Image size 240x240, Head, Axial slice
FLAIR MRI.
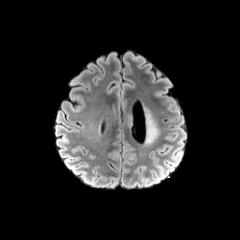
T1-weighted magnetic resonance.
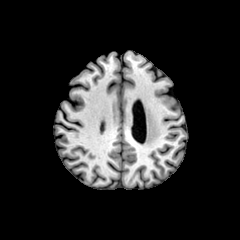
Post-contrast T1-weighted MR image.
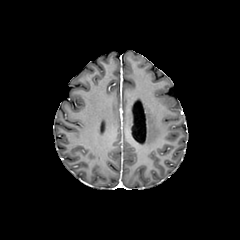
T2-weighted magnetic resonance.
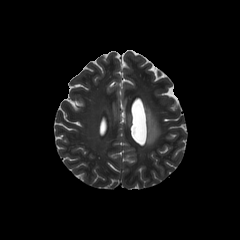
2 peritumoral edema regions appear at <bbox>145, 109, 160, 144</bbox>, <bbox>127, 115, 132, 126</bbox>.